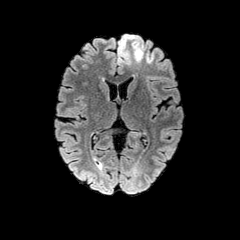
FLAIR MR.
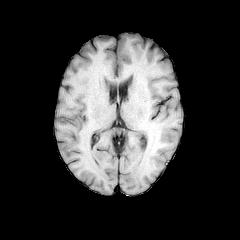
Same slice, T1-weighted MR.
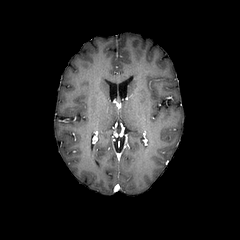
Post-contrast T1-weighted MR.
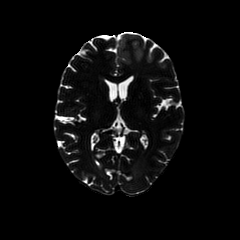
Same slice, T2-weighted MR image.
Image size 240x240
{
  "peritumoral_edema": [
    "117,35,139,64",
    "131,41,144,61"
  ]
}